Brain; Image size 240x240
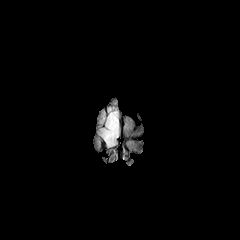
FLAIR magnetic resonance.
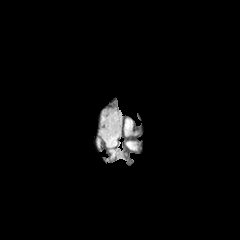
T1-weighted MR image.
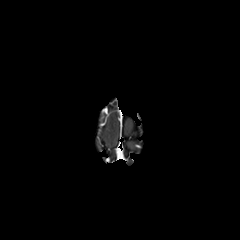
Post-contrast T1-weighted MRI.
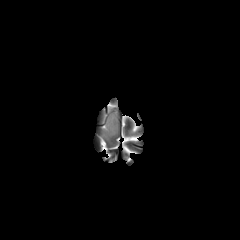
Same slice, T2-weighted MR.
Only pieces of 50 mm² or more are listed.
Findings:
- peritumoral edema: (101,111,118,146)